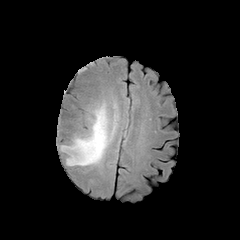
FLAIR magnetic resonance.
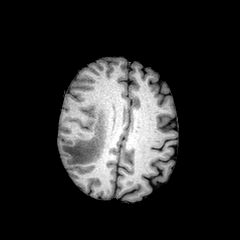
T1-weighted magnetic resonance of the same slice.
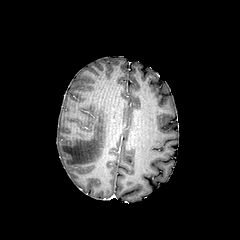
Post-contrast T1-weighted MRI of the same slice.
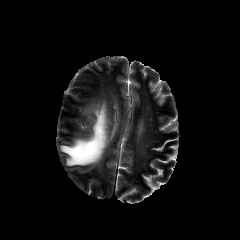
Same slice, T2-weighted magnetic resonance.
Axial slice.
<segmentation>
  <peritumoral_edema>60, 102, 115, 166</peritumoral_edema>
</segmentation>